Brain, Image width 240 mm, Slice 35/155
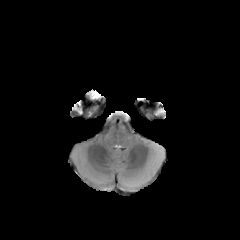
FLAIR MR image.
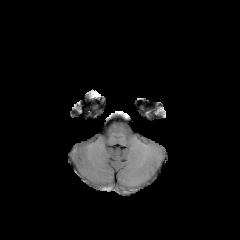
T1-weighted MR image.
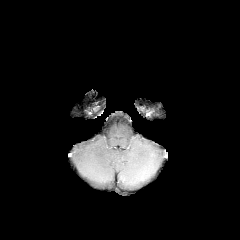
Same slice, post-contrast T1-weighted MR.
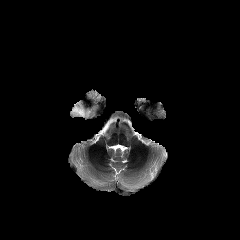
T2-weighted MRI of the same slice.
{"peritumoral_edema": ["bbox(73, 91, 103, 117)"]}